Slice index 117; Axial slice; Head
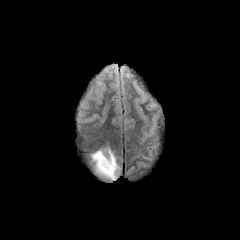
FLAIR magnetic resonance.
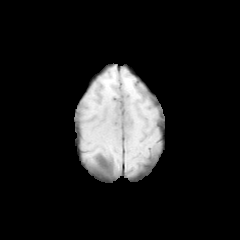
T1-weighted MR image.
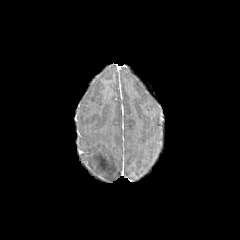
Post-contrast T1-weighted MR image.
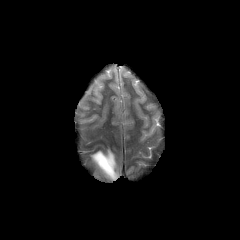
Same slice, T2-weighted MR image.
The peritumoral edema lies within [91,148,120,180].